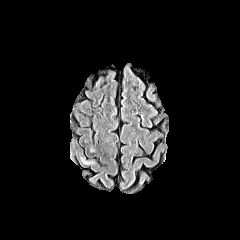
FLAIR magnetic resonance.
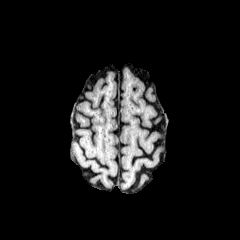
T1-weighted MRI.
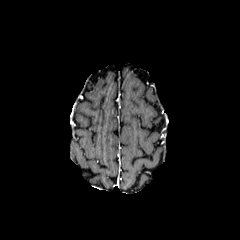
Same slice, post-contrast T1-weighted MRI.
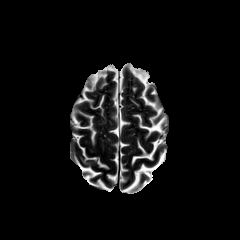
Same slice, T2-weighted magnetic resonance.
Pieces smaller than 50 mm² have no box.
The largest peritumoral edema region is bounded by bbox(80, 156, 95, 164).